Axial view; Image width 240 mm
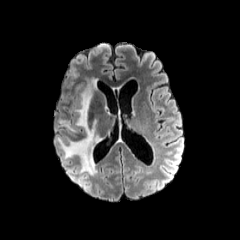
FLAIR MR.
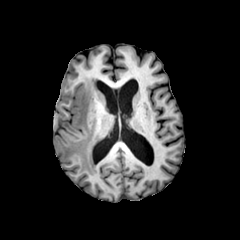
Same slice, T1-weighted MR.
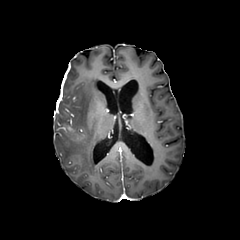
Same slice, post-contrast T1-weighted MR image.
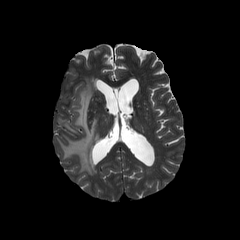
T2-weighted MRI.
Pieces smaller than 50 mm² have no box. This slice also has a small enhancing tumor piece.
peritumoral_edema:
  - 57, 80, 101, 175